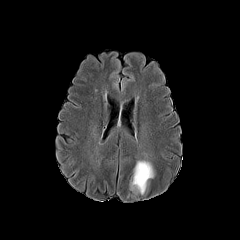
FLAIR MR.
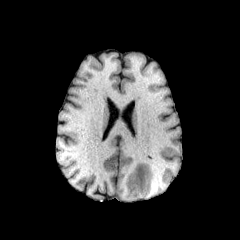
T1-weighted magnetic resonance.
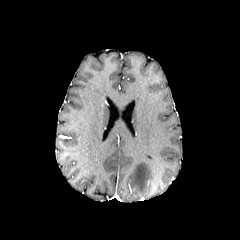
Same slice, post-contrast T1-weighted MR image.
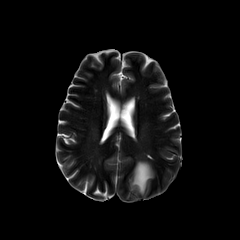
T2-weighted MR image.
Head. Axial plane. 240x240.
peritumoral_edema:
  - (130,160,154,194)